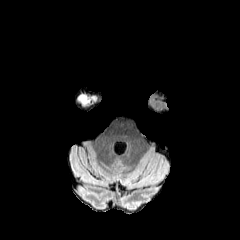
FLAIR MRI.
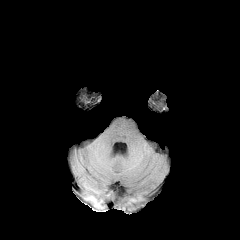
T1-weighted MR image.
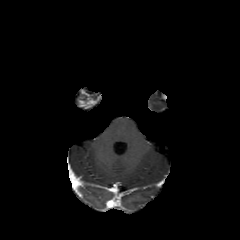
Same slice, post-contrast T1-weighted MRI.
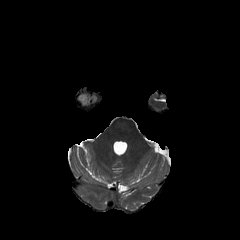
T2-weighted magnetic resonance.
240x240 px. Head.
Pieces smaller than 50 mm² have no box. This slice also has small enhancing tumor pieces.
peritumoral edema: (left=76, top=94, right=99, bottom=103)